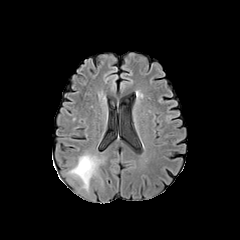
FLAIR MRI.
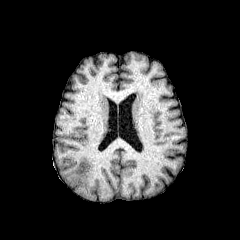
T1-weighted MRI.
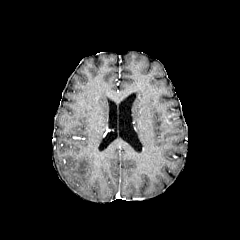
Post-contrast T1-weighted MR.
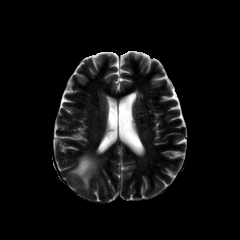
T2-weighted MRI.
The peritumoral edema is bounded by (70,154,97,187).